FLAIR MR image.
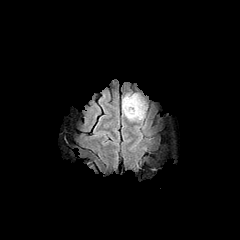
T1-weighted MRI.
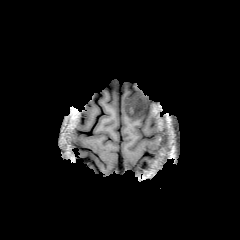
Post-contrast T1-weighted magnetic resonance.
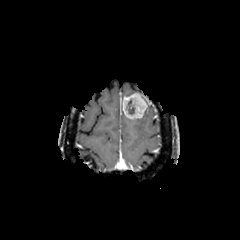
T2-weighted MR.
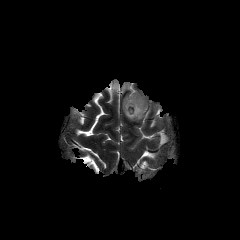
Axial slice, Head
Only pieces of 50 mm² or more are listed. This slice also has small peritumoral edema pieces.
enhancing tumor: x1=122, y1=93, x2=147, y2=119
necrotic tumor core: x1=127, y1=99, x2=134, y2=114